240x240. Head.
FLAIR MR image.
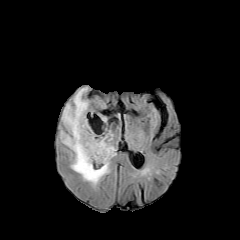
T1-weighted MRI.
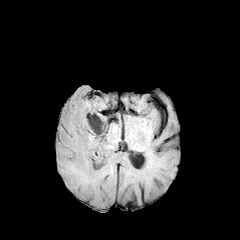
Post-contrast T1-weighted MR image.
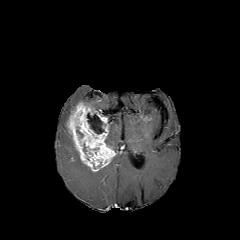
T2-weighted magnetic resonance.
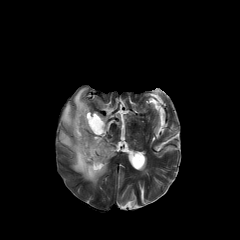
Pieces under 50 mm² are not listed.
necrotic tumor core: bounding box {"x1": 87, "y1": 112, "x2": 104, "y2": 133}
enhancing tumor: bounding box {"x1": 66, "y1": 102, "x2": 116, "y2": 171}
peritumoral edema: bounding box {"x1": 59, "y1": 128, "x2": 109, "y2": 187}, {"x1": 61, "y1": 87, "x2": 89, "y2": 130}, {"x1": 105, "y1": 136, "x2": 116, "y2": 151}